Image covers 240 mm x 240 mm. 240x240 px. Slice 118 of 155.
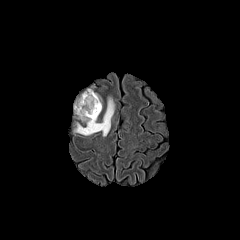
FLAIR MRI.
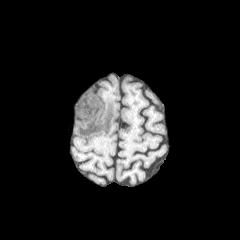
T1-weighted magnetic resonance.
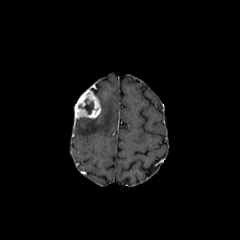
Same slice, post-contrast T1-weighted MRI.
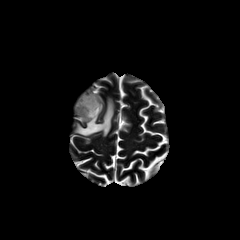
T2-weighted MRI of the same slice.
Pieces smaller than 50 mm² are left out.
The enhancing tumor is at (left=74, top=89, right=101, bottom=118). The largest peritumoral edema region is at (left=75, top=97, right=114, bottom=136). The largest necrotic tumor core region is located at (left=83, top=99, right=93, bottom=114).